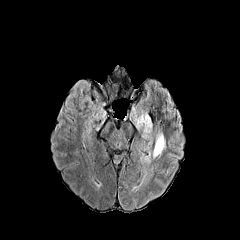
FLAIR MR image.
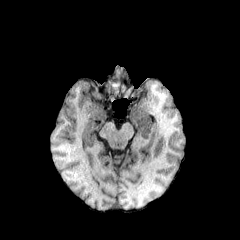
Same slice, T1-weighted MR image.
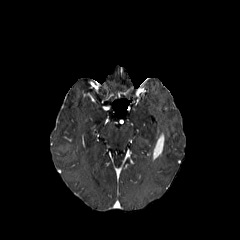
Same slice, post-contrast T1-weighted MR image.
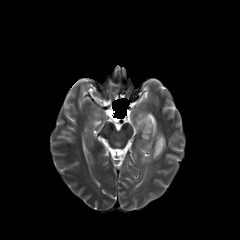
Same slice, T2-weighted MR.
Brain | Axial slice
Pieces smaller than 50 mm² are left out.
Findings:
• enhancing tumor: (153,136,164,160)
• peritumoral edema: (136,114,152,163)